Head.
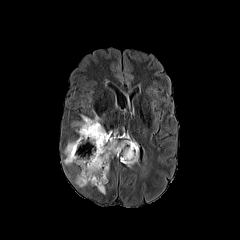
FLAIR MR image.
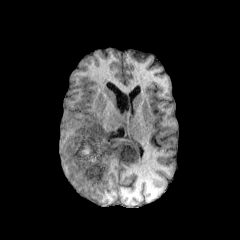
T1-weighted magnetic resonance of the same slice.
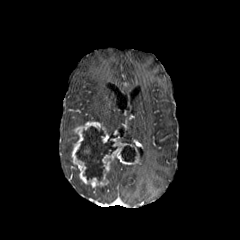
Post-contrast T1-weighted MRI.
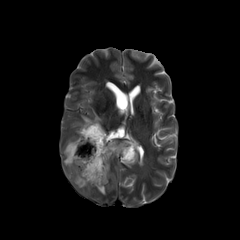
T2-weighted MR image of the same slice.
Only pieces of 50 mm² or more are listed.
enhancing tumor = bbox(71, 121, 138, 187)
necrotic tumor core = bbox(76, 126, 117, 181); bbox(121, 145, 136, 161)
peritumoral edema = bbox(75, 174, 86, 187); bbox(73, 111, 101, 125); bbox(63, 142, 74, 165); bbox(97, 186, 105, 194); bbox(122, 134, 135, 143)